Axial plane | Slice 73 of 155 | 240x240 px
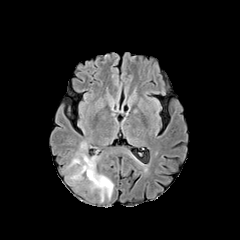
FLAIR MRI.
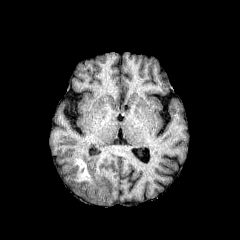
T1-weighted MR image.
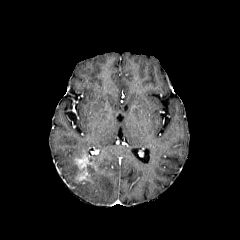
Post-contrast T1-weighted MR.
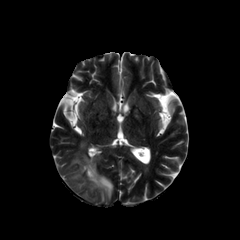
T2-weighted MR.
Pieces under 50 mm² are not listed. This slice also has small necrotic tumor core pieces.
Findings:
• peritumoral edema: rect(87, 156, 113, 202)
• enhancing tumor: rect(78, 155, 94, 166); rect(76, 171, 86, 180)